Image covers 240 mm x 240 mm, Slice index 28, Image size 240x240
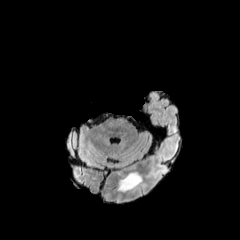
FLAIR MRI.
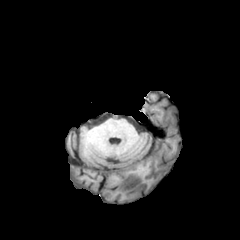
T1-weighted MR.
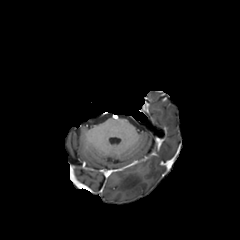
Post-contrast T1-weighted MR image.
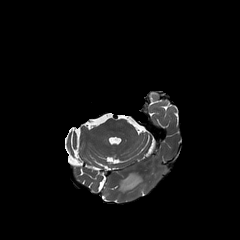
T2-weighted MR of the same slice.
peritumoral edema: bounding box x1=118, y1=172, x2=142, y2=191